FLAIR MRI.
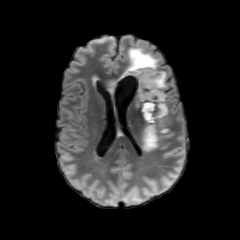
T1-weighted MR image.
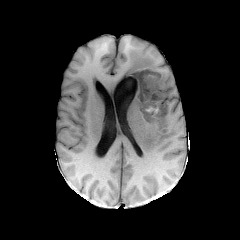
Post-contrast T1-weighted MRI.
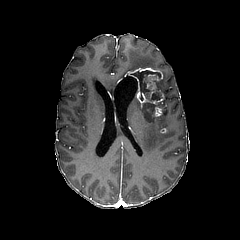
T2-weighted MRI.
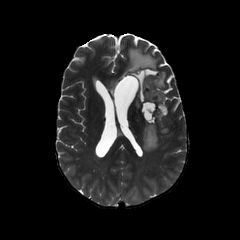
240x240 px | Head
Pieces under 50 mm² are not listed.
peritumoral_edema:
  - x1=143 y1=120 x2=160 y2=151
  - x1=155 y1=101 x2=167 y2=119
  - x1=160 y1=71 x2=166 y2=89
  - x1=107 y1=45 x2=158 y2=91
necrotic_tumor_core:
  - x1=131 y1=70 x2=162 y2=100
  - x1=142 y1=102 x2=155 y2=121
enhancing_tumor:
  - x1=125 y1=67 x2=164 y2=106
  - x1=155 y1=105 x2=164 y2=116